Axial plane; Image size 240x240; Head
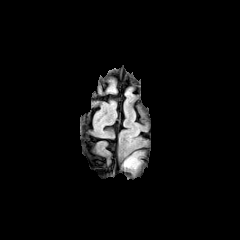
FLAIR magnetic resonance.
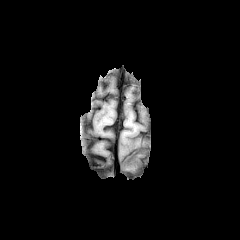
T1-weighted MRI.
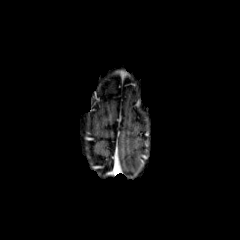
Post-contrast T1-weighted MR.
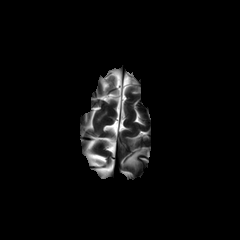
Same slice, T2-weighted MR image.
* peritumoral edema: <box>124,152,141,168</box>